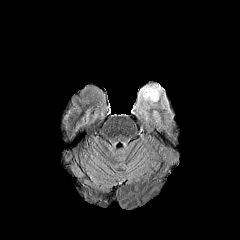
FLAIR MR image.
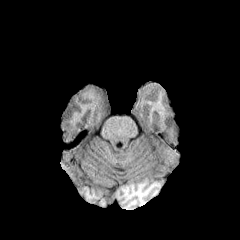
T1-weighted MR image of the same slice.
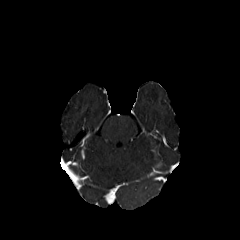
Post-contrast T1-weighted MR image.
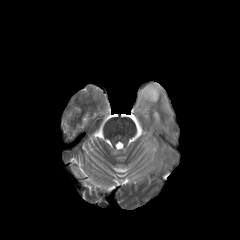
T2-weighted MR of the same slice.
240x240 px; Brain
2 peritumoral edema regions appear at (153, 111, 160, 121), (135, 84, 168, 118).